FLAIR MRI.
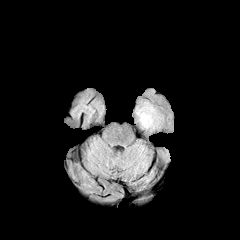
T1-weighted MR.
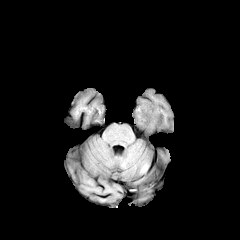
Post-contrast T1-weighted magnetic resonance.
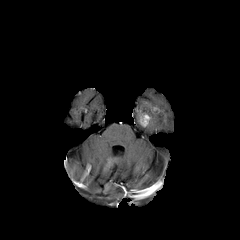
T2-weighted MR.
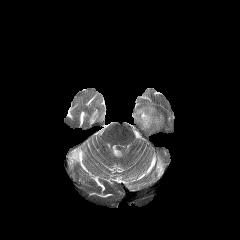
Head; Axial slice
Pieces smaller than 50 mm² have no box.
<segmentation>
  <enhancing_tumor>left=139, top=110, right=151, bottom=127</enhancing_tumor>
  <peritumoral_edema>left=136, top=102, right=161, bottom=130</peritumoral_edema>
</segmentation>